Axial slice.
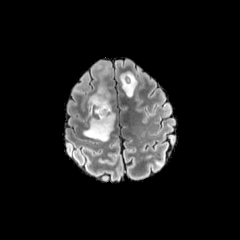
FLAIR MRI.
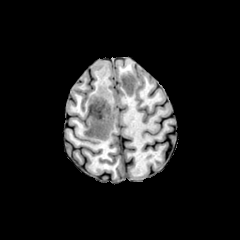
T1-weighted MR of the same slice.
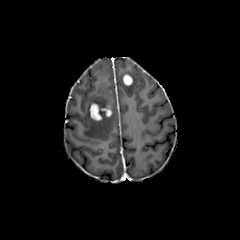
Post-contrast T1-weighted magnetic resonance.
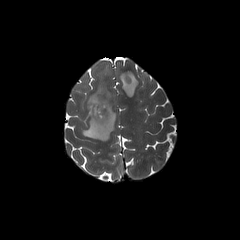
T2-weighted MR.
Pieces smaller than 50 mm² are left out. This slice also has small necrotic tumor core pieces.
peritumoral edema — [x1=83, y1=66, x2=115, y2=141], [x1=119, y1=69, x2=137, y2=97]
enhancing tumor — [x1=90, y1=103, x2=111, y2=120], [x1=123, y1=75, x2=132, y2=86]